FLAIR MR.
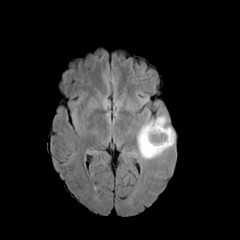
T1-weighted MR.
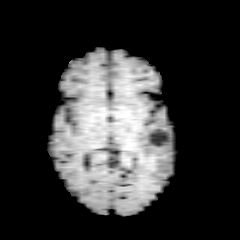
Post-contrast T1-weighted MRI.
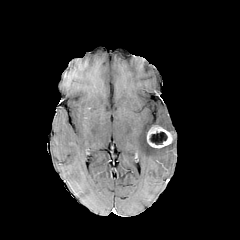
T2-weighted magnetic resonance.
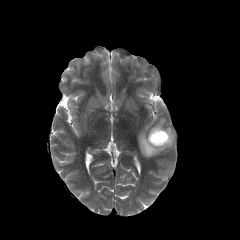
Axial slice, Head, 240x240 px
The necrotic tumor core lies within box=[149, 132, 167, 144]. The enhancing tumor is at box=[147, 125, 174, 148]. The peritumoral edema lies within box=[137, 116, 174, 158].